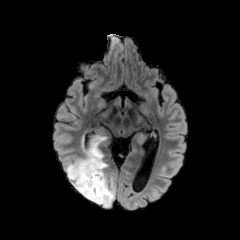
FLAIR MR.
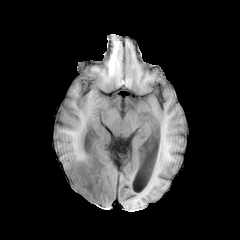
Same slice, T1-weighted MR image.
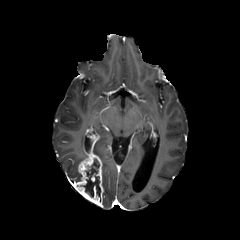
Post-contrast T1-weighted MR.
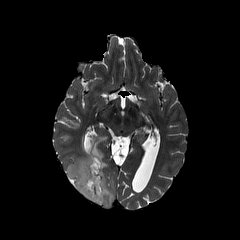
Same slice, T2-weighted MR.
Image size 240x240 | Brain | Axial plane
Annotated regions:
• peritumoral edema: <box>66,130,115,207</box>
• necrotic tumor core: <box>83,159,100,201</box>
• enhancing tumor: <box>71,148,104,205</box>